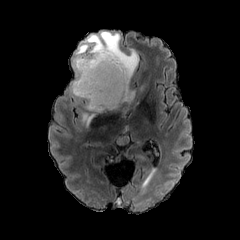
FLAIR magnetic resonance.
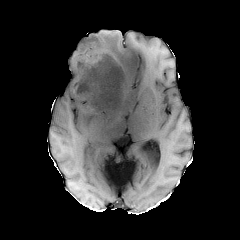
T1-weighted MR of the same slice.
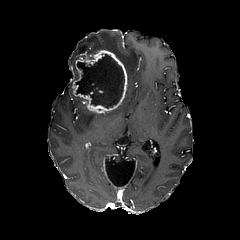
Post-contrast T1-weighted MR of the same slice.
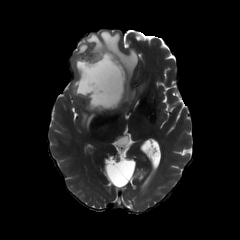
T2-weighted magnetic resonance.
Brain. Axial slice.
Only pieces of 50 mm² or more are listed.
Segmented structures:
• enhancing tumor: [72,50,127,113]
• necrotic tumor core: [77,54,124,108]
• peritumoral edema: [72,31,138,109], [82,112,96,127]